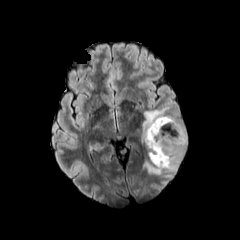
FLAIR MR image.
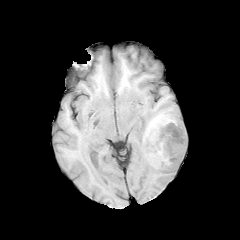
T1-weighted MRI.
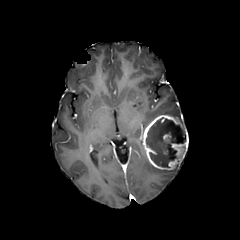
Same slice, post-contrast T1-weighted MRI.
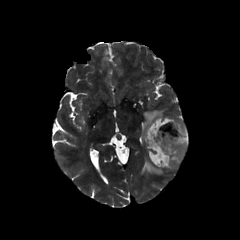
T2-weighted magnetic resonance of the same slice.
Brain. 240x240 px. Axial plane.
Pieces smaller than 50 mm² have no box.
The largest enhancing tumor region is at 141,115,188,169. The necrotic tumor core is at 146,117,185,167. The 2 largest peritumoral edema regions are bounded by 142,106,169,130; 145,161,179,174.